Axial view. Slice 29 of 155.
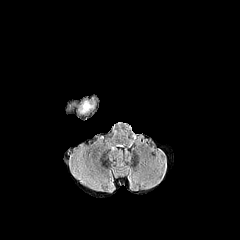
FLAIR MRI.
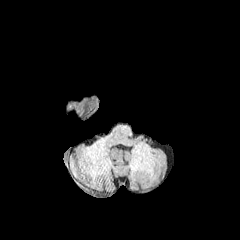
T1-weighted MR image.
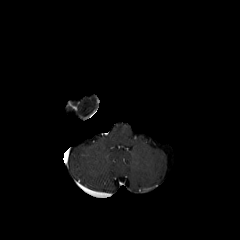
Post-contrast T1-weighted MR image.
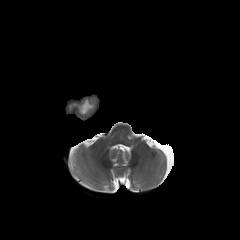
Same slice, T2-weighted MR image.
peritumoral_edema:
  - left=82, top=102, right=91, bottom=111